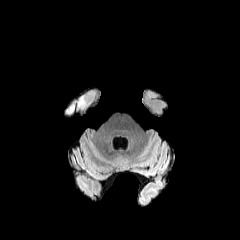
FLAIR MR.
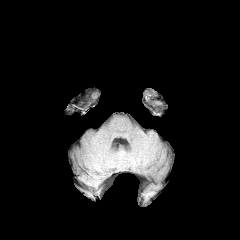
T1-weighted MRI.
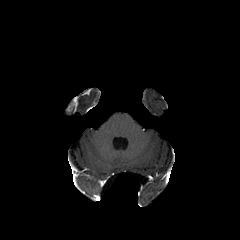
Post-contrast T1-weighted MR.
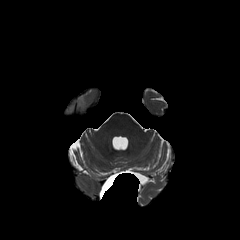
T2-weighted magnetic resonance of the same slice.
Axial plane. Image size 240x240.
The enhancing tumor is located at <box>67,99,77,112</box>. The peritumoral edema is at <box>78,96,85,107</box>.